FLAIR magnetic resonance.
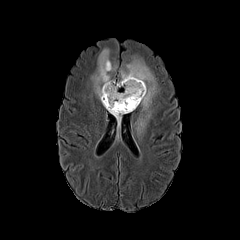
T1-weighted MR image.
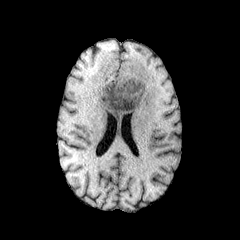
Post-contrast T1-weighted MR image.
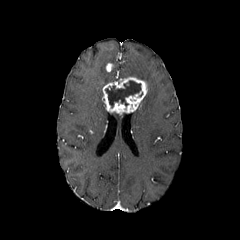
T2-weighted magnetic resonance.
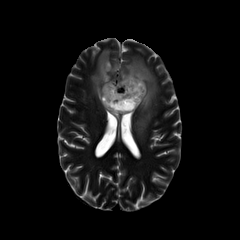
Brain; 240x240
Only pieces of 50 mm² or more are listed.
2 enhancing tumor regions are located at <bbox>102, 77, 147, 114</bbox>, <bbox>106, 63, 113, 71</bbox>. The 3 largest peritumoral edema regions are located at <bbox>92, 49, 114, 107</bbox>, <bbox>111, 113, 121, 127</bbox>, <bbox>120, 58, 157, 135</bbox>. The largest necrotic tumor core region lies within <bbox>105, 80, 140, 107</bbox>.